FLAIR MR.
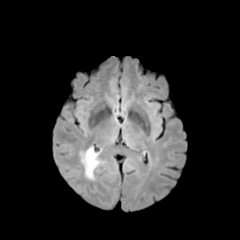
T1-weighted MR.
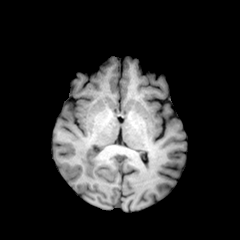
Post-contrast T1-weighted MR image.
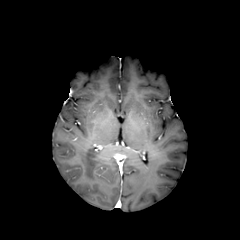
T2-weighted MRI.
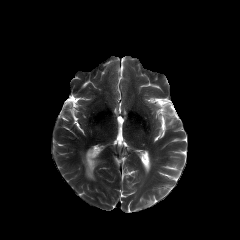
Head
peritumoral_edema:
  - [x1=81, y1=147, x2=100, y2=179]